Slice 104/155.
FLAIR magnetic resonance.
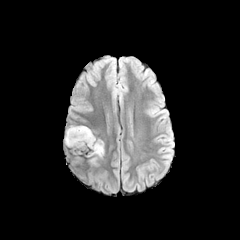
T1-weighted MR image.
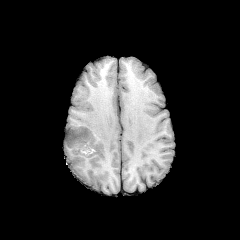
Post-contrast T1-weighted MR.
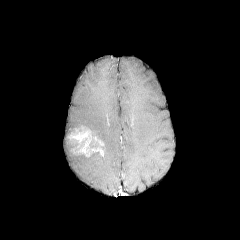
T2-weighted magnetic resonance.
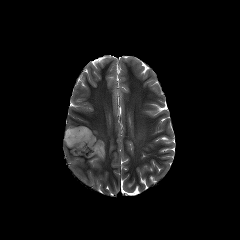
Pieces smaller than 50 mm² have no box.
The enhancing tumor lies within (x1=66, y1=126, x2=104, y2=157). The 2 largest peritumoral edema regions appear at (x1=90, y1=152, x2=102, y2=164), (x1=65, y1=136, x2=77, y2=148).